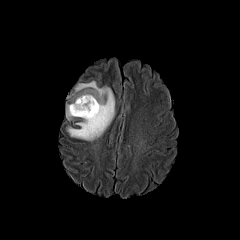
FLAIR MRI.
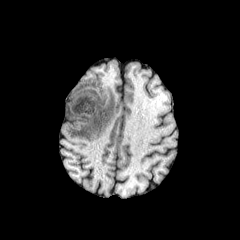
T1-weighted MR of the same slice.
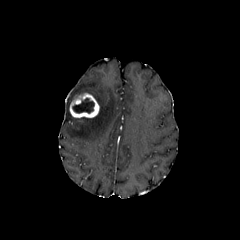
Post-contrast T1-weighted magnetic resonance of the same slice.
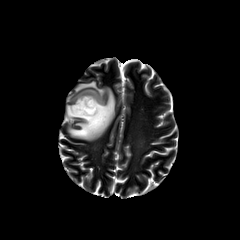
T2-weighted MR image of the same slice.
Brain
enhancing_tumor:
  - (x1=69, y1=93, x2=99, y2=118)
necrotic_tumor_core:
  - (x1=72, y1=98, x2=94, y2=113)
peritumoral_edema:
  - (x1=66, y1=81, x2=115, y2=141)